Image size 240x240, Axial view
FLAIR magnetic resonance.
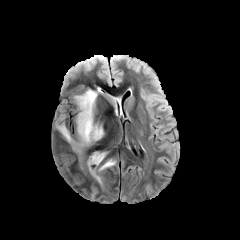
T1-weighted magnetic resonance.
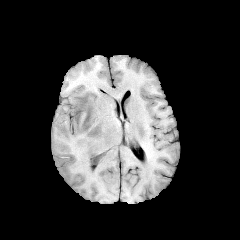
Post-contrast T1-weighted MR image.
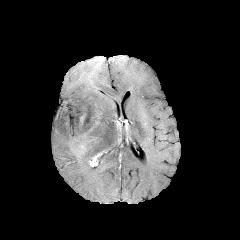
T2-weighted MR image.
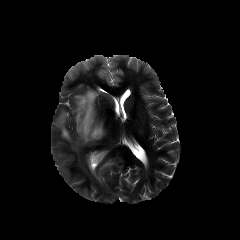
Segmented structures:
- peritumoral edema: [98,159,115,171], [87,151,106,182], [56,89,104,151]